FLAIR MR image.
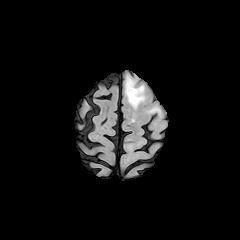
T1-weighted MRI.
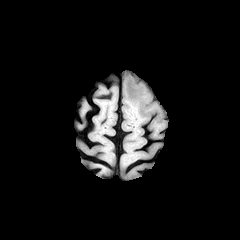
Post-contrast T1-weighted MR image.
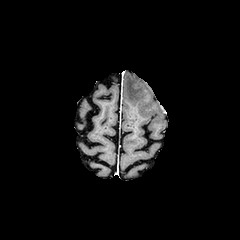
T2-weighted MRI.
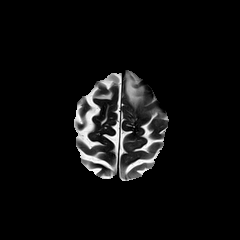
240x240 px. Head. Axial view.
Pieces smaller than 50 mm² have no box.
peritumoral edema = 125,74,144,107